Axial view; Slice 70 of 155
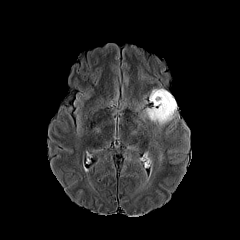
FLAIR magnetic resonance.
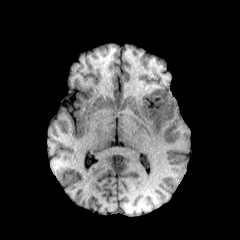
Same slice, T1-weighted magnetic resonance.
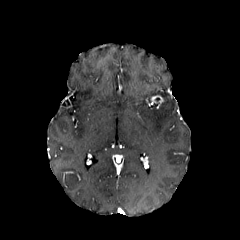
Same slice, post-contrast T1-weighted magnetic resonance.
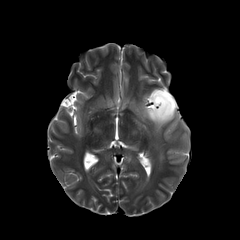
T2-weighted magnetic resonance.
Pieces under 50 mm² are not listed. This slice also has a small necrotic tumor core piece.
enhancing tumor — left=151, top=95, right=163, bottom=105
peritumoral edema — left=144, top=89, right=176, bottom=125